FLAIR MR image.
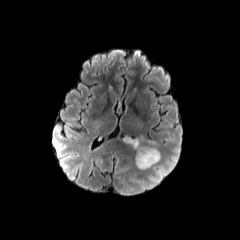
T1-weighted MR image.
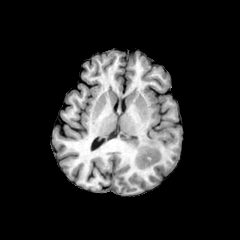
Post-contrast T1-weighted MR.
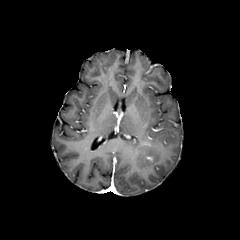
T2-weighted MR.
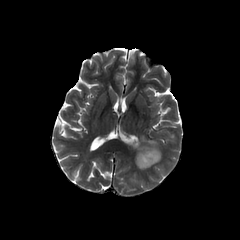
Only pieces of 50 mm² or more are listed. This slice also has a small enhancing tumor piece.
peritumoral edema = <bbox>124, 135, 160, 170</bbox>